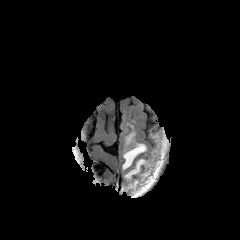
FLAIR MRI.
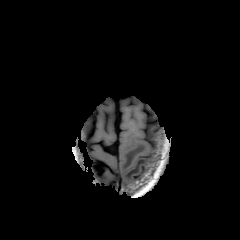
T1-weighted MR.
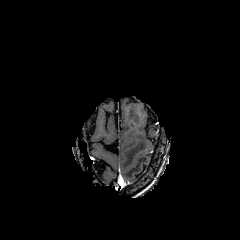
Same slice, post-contrast T1-weighted MR.
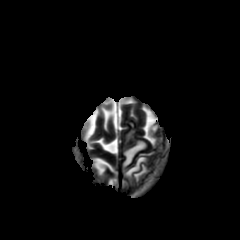
T2-weighted MR of the same slice.
Axial slice, 240x240 px
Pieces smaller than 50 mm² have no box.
peritumoral edema: bounding box <box>125,132,134,145</box>, <box>124,158,149,180</box>, <box>122,141,146,170</box>